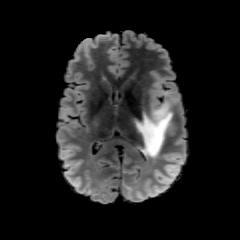
FLAIR MR.
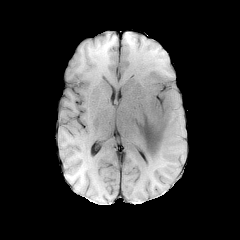
Same slice, T1-weighted MR image.
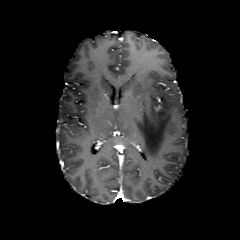
Same slice, post-contrast T1-weighted MRI.
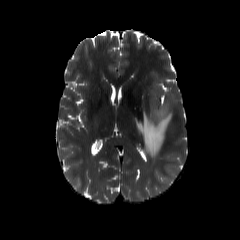
T2-weighted MR of the same slice.
peritumoral edema at [136,101,172,158]